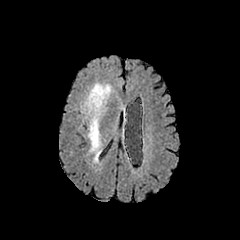
FLAIR MRI.
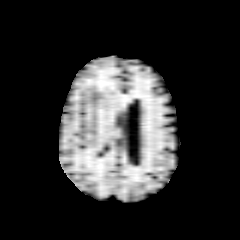
T1-weighted MRI.
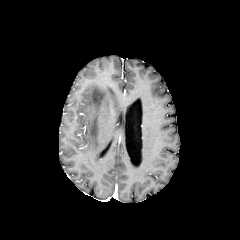
Post-contrast T1-weighted magnetic resonance of the same slice.
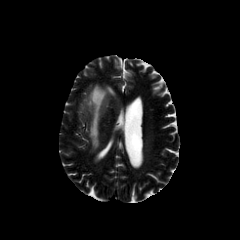
T2-weighted magnetic resonance.
Axial plane
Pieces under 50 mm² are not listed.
peritumoral edema — 83 83 114 161